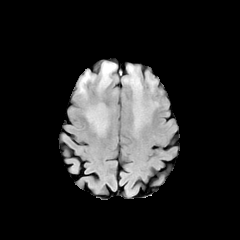
FLAIR MR image.
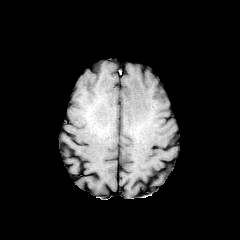
T1-weighted MR image.
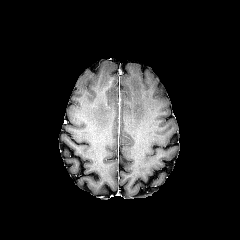
Post-contrast T1-weighted MR image of the same slice.
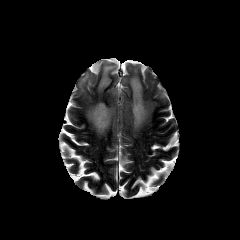
Same slice, T2-weighted magnetic resonance.
Brain.
Segmented structures:
- peritumoral edema: box=[122, 65, 156, 128]; box=[78, 70, 94, 95]; box=[97, 61, 116, 92]; box=[86, 103, 109, 132]; box=[147, 74, 156, 91]